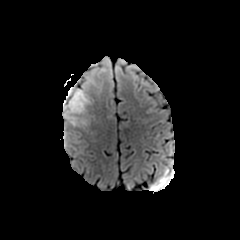
FLAIR MR image.
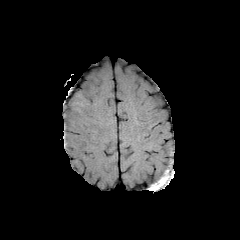
T1-weighted MRI of the same slice.
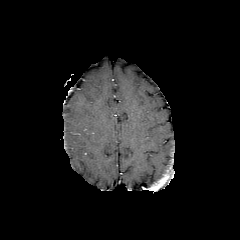
Same slice, post-contrast T1-weighted MR.
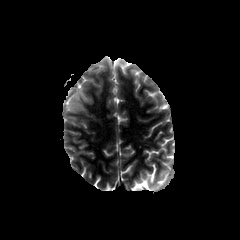
T2-weighted magnetic resonance.
Head
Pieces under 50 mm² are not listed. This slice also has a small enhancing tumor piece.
Findings:
• peritumoral edema: box=[62, 84, 92, 127]